Image width 240 mm, 1.00 mm slice spacing. Slice 64 of 155. Brain.
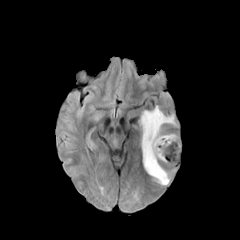
FLAIR MR.
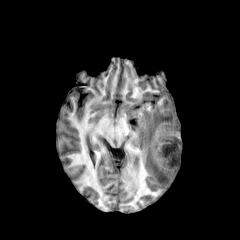
T1-weighted MRI.
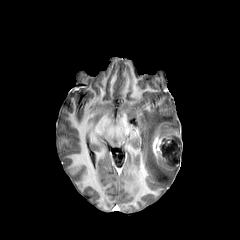
Post-contrast T1-weighted MR image of the same slice.
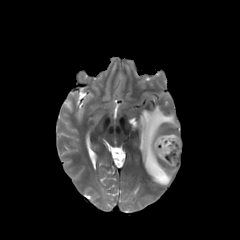
T2-weighted MR.
The peritumoral edema is at (139, 106, 179, 185). The necrotic tumor core lies within (160, 136, 181, 167). The enhancing tumor is bounded by (152, 132, 180, 169).